FLAIR MR image.
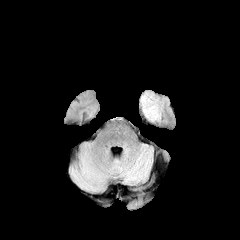
T1-weighted MR.
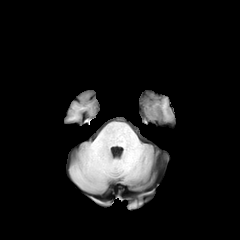
Post-contrast T1-weighted MRI.
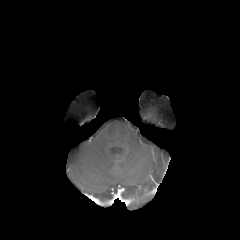
T2-weighted MR image.
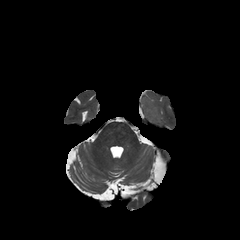
Head
peritumoral edema — {"x1": 141, "y1": 93, "x2": 162, "y2": 121}